FLAIR MRI.
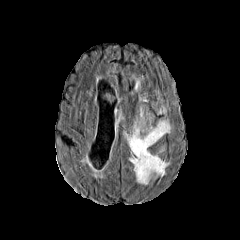
T1-weighted MR image.
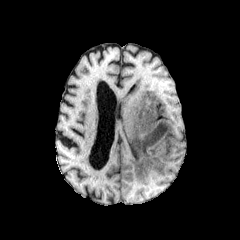
Post-contrast T1-weighted MR.
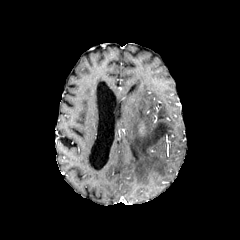
T2-weighted magnetic resonance.
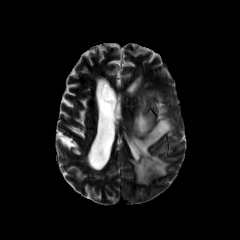
Image size 240x240. Axial plane. Head.
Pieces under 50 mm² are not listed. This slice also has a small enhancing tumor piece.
<segmentation>
  <peritumoral_edema><bbox>125, 108, 170, 184</bbox></peritumoral_edema>
</segmentation>